Image covers 240 mm x 240 mm, 240x240 px
FLAIR MRI.
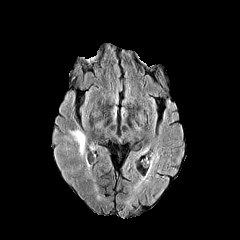
T1-weighted MRI.
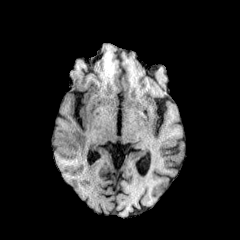
Post-contrast T1-weighted MR.
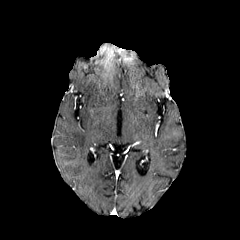
T2-weighted MR image.
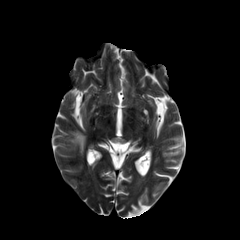
{"peritumoral_edema": ["[70, 130, 85, 154]"]}